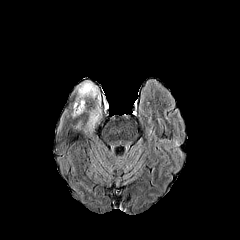
FLAIR MRI.
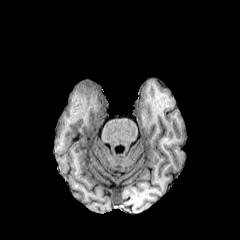
T1-weighted magnetic resonance of the same slice.
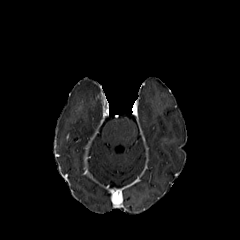
Post-contrast T1-weighted magnetic resonance.
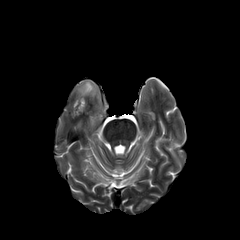
T2-weighted MR of the same slice.
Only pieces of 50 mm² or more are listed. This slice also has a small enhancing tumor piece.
peritumoral edema — 72:81:100:123